FLAIR magnetic resonance.
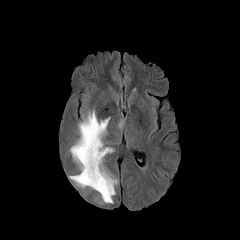
T1-weighted magnetic resonance.
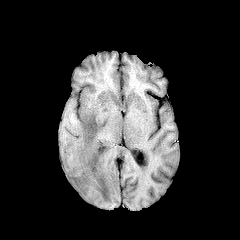
Post-contrast T1-weighted MR.
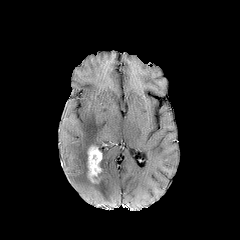
T2-weighted MRI.
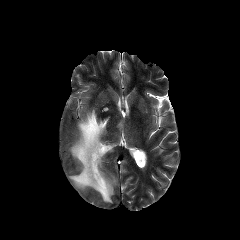
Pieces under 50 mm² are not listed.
The enhancing tumor is located at (x1=87, y1=146, x2=102, y2=182). The largest peritumoral edema region lies within (x1=69, y1=110, x2=117, y2=203).